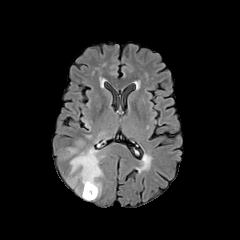
FLAIR MRI.
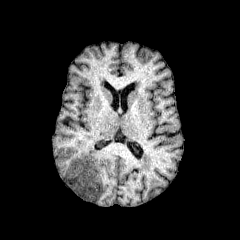
T1-weighted MR image.
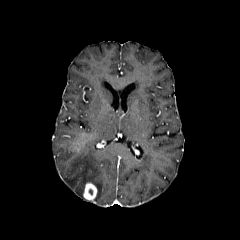
Same slice, post-contrast T1-weighted MRI.
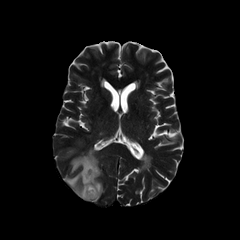
T2-weighted magnetic resonance.
Head. Image size 240x240.
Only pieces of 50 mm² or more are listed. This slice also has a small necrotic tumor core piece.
enhancing tumor: (x1=70, y1=140, x2=83, y2=152), (x1=83, y1=182, x2=97, y2=200) | peritumoral edema: (x1=66, y1=147, x2=103, y2=198)